240x240, Axial slice
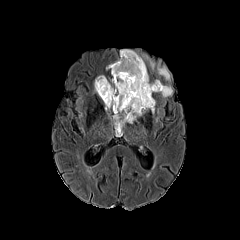
FLAIR MR.
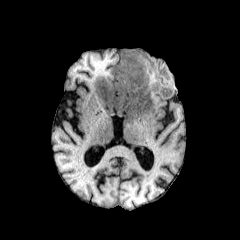
T1-weighted MRI.
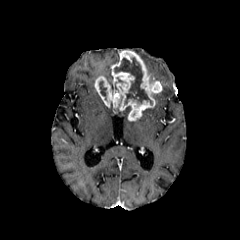
Same slice, post-contrast T1-weighted MR.
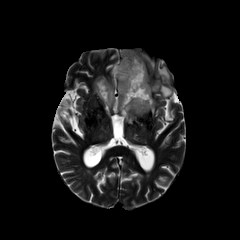
Same slice, T2-weighted MRI.
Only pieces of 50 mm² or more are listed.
enhancing_tumor:
  - bbox=[94, 50, 162, 121]
necrotic_tumor_core:
  - bbox=[114, 58, 152, 104]
  - bbox=[99, 81, 106, 96]
peritumoral_edema:
  - bbox=[157, 62, 170, 81]
  - bbox=[142, 55, 154, 69]
  - bbox=[123, 106, 133, 123]
  - bbox=[160, 84, 172, 97]